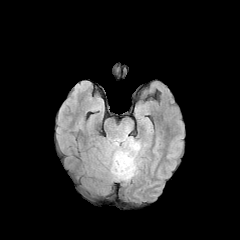
FLAIR magnetic resonance.
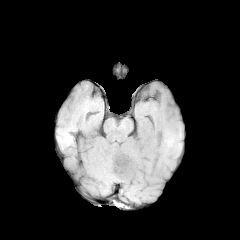
Same slice, T1-weighted MRI.
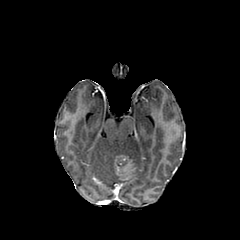
Post-contrast T1-weighted MRI.
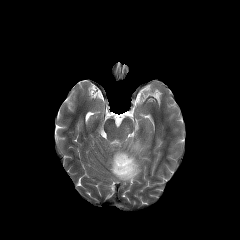
T2-weighted MR image of the same slice.
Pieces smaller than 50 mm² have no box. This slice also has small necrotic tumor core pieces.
The enhancing tumor lies within bbox=[114, 154, 136, 180]. The peritumoral edema appears at bbox=[104, 125, 142, 182].